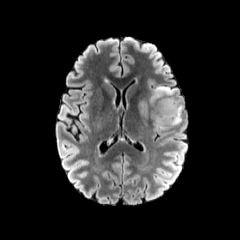
FLAIR MR image.
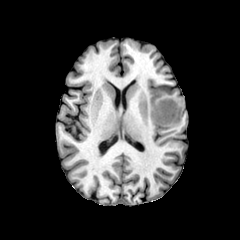
Same slice, T1-weighted MR.
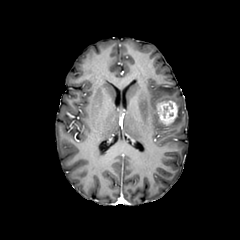
Same slice, post-contrast T1-weighted magnetic resonance.
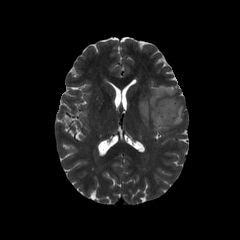
Same slice, T2-weighted magnetic resonance.
Axial slice
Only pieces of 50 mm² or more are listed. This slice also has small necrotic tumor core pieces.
enhancing tumor at [155,100,177,125]
peritumoral edema at [150,86,176,103], [141,103,147,115], [161,98,183,125], [152,111,166,129]